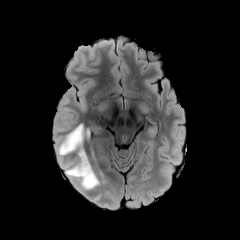
FLAIR magnetic resonance.
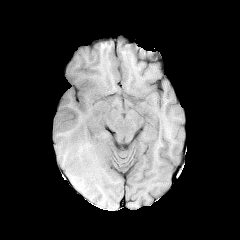
Same slice, T1-weighted magnetic resonance.
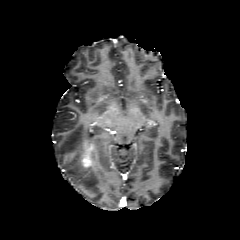
Same slice, post-contrast T1-weighted MRI.
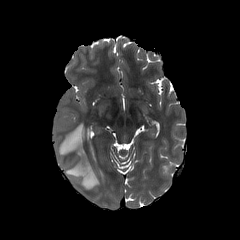
T2-weighted MR.
Brain
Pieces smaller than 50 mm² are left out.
Findings:
• peritumoral edema: x1=58 y1=124 x2=103 y2=189
• enhancing tumor: x1=82 y1=144 x2=93 y2=171